Image size 240x240 | Slice 58 of 155
FLAIR MR.
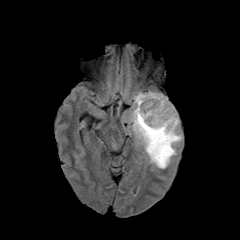
T1-weighted magnetic resonance.
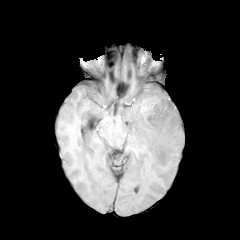
Post-contrast T1-weighted MR image.
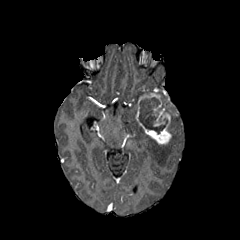
T2-weighted MR.
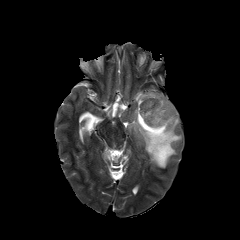
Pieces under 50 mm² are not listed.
peritumoral edema at rect(129, 92, 182, 168)
necrotic tumor core at rect(158, 100, 175, 131); rect(138, 97, 168, 133)
enhancing tumor at rect(136, 90, 171, 144)